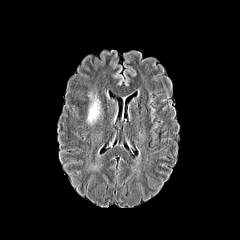
FLAIR MRI.
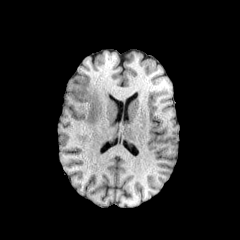
Same slice, T1-weighted MRI.
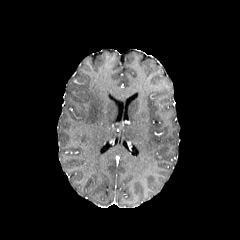
Post-contrast T1-weighted MRI.
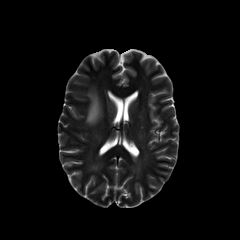
T2-weighted magnetic resonance of the same slice.
peritumoral_edema:
  - 87,94,100,123